Axial plane, Slice index 72
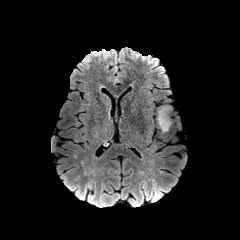
FLAIR MRI.
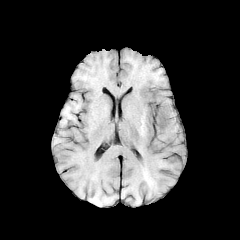
T1-weighted MRI.
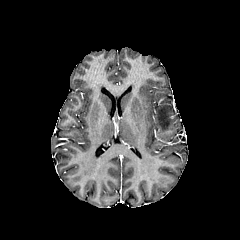
Post-contrast T1-weighted MRI.
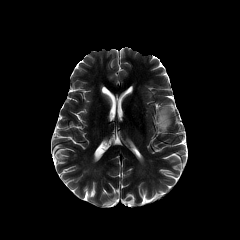
T2-weighted MRI of the same slice.
<segmentation>
  <peritumoral_edema>157,105,170,132</peritumoral_edema>
</segmentation>